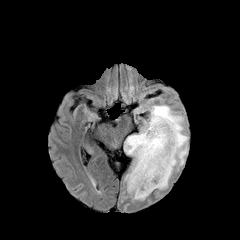
FLAIR MR image.
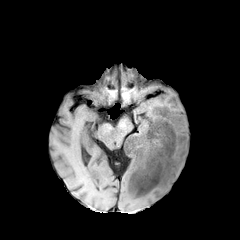
T1-weighted MR image.
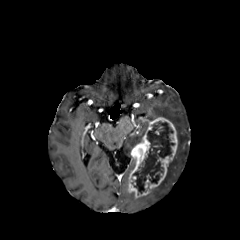
Post-contrast T1-weighted MR image of the same slice.
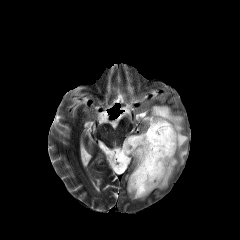
T2-weighted MRI.
240x240
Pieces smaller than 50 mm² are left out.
The 3 largest peritumoral edema regions are located at [x1=124, y1=121, x2=147, y2=154], [x1=149, y1=105, x2=188, y2=189], [x1=129, y1=193, x2=149, y2=200]. The necrotic tumor core appears at [x1=133, y1=122, x2=174, y2=193]. The largest enhancing tumor region is bounded by [x1=127, y1=117, x2=178, y2=198].